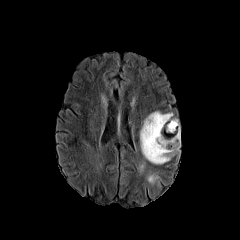
FLAIR magnetic resonance.
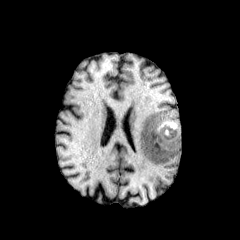
T1-weighted MR.
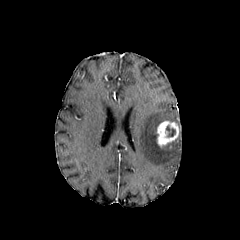
Post-contrast T1-weighted MR.
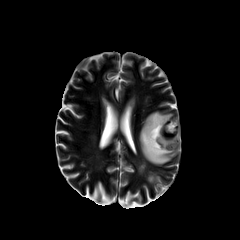
T2-weighted MR of the same slice.
Axial view. Brain.
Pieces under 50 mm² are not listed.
The necrotic tumor core is at 166, 125, 175, 136. The enhancing tumor is at 156, 121, 179, 147. The 2 largest peritumoral edema regions are bounded by 140, 111, 180, 164; 146, 172, 160, 184.